Slice 103/155. Axial view. Head.
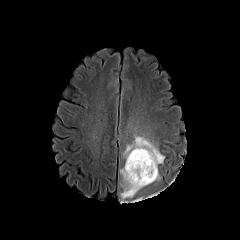
FLAIR magnetic resonance.
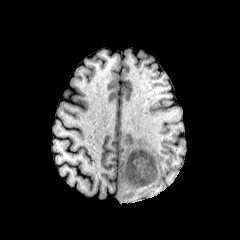
T1-weighted MRI.
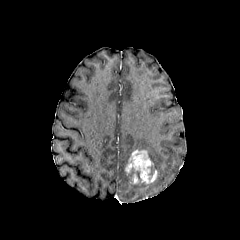
Post-contrast T1-weighted magnetic resonance of the same slice.
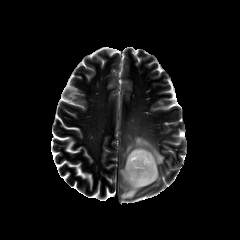
T2-weighted MR.
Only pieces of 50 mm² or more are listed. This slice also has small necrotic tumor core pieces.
Findings:
• enhancing tumor: <bbox>125, 149, 157, 184</bbox>
• peritumoral edema: <bbox>120, 135, 164, 199</bbox>